Image width 240 mm, 1.00 mm slice spacing; Axial slice
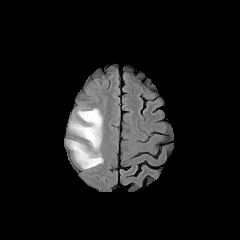
FLAIR MRI.
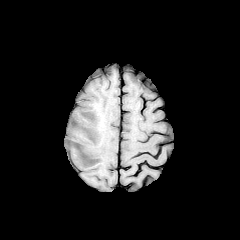
Same slice, T1-weighted MR image.
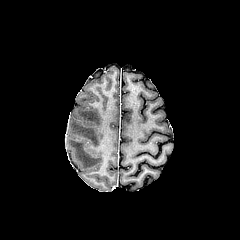
Same slice, post-contrast T1-weighted MR image.
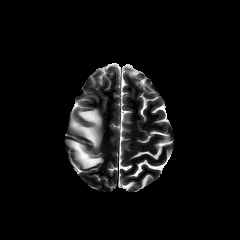
T2-weighted MR.
The peritumoral edema lies within 68 108 103 168.